FLAIR MRI.
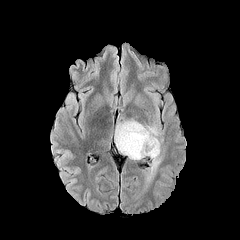
T1-weighted magnetic resonance.
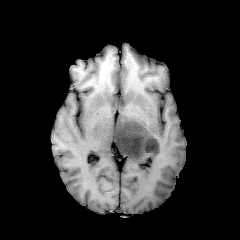
Post-contrast T1-weighted MRI.
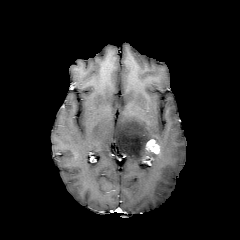
T2-weighted MRI.
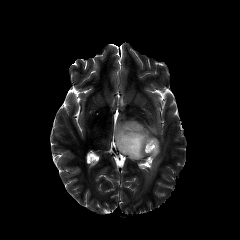
Axial slice
{
  "peritumoral_edema": [
    "114, 118, 163, 179"
  ],
  "enhancing_tumor": [
    "145, 139, 160, 154"
  ]
}